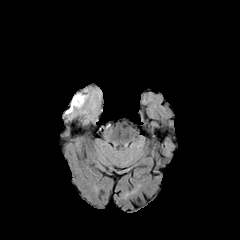
FLAIR MRI.
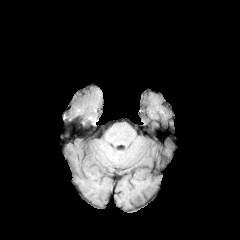
T1-weighted MR.
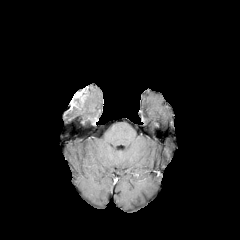
Post-contrast T1-weighted MRI.
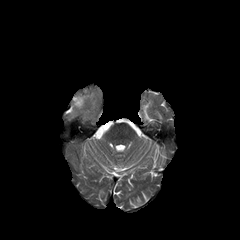
Same slice, T2-weighted MR.
Axial slice.
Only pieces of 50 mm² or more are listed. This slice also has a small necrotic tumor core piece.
peritumoral edema: rect(85, 90, 94, 102) | enhancing tumor: rect(69, 87, 88, 110)